FLAIR MR image.
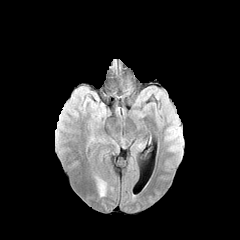
T1-weighted magnetic resonance.
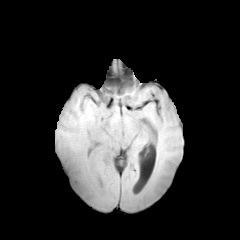
Post-contrast T1-weighted MR image.
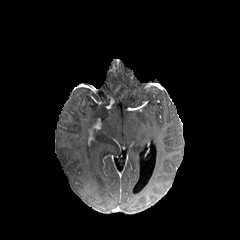
T2-weighted MRI.
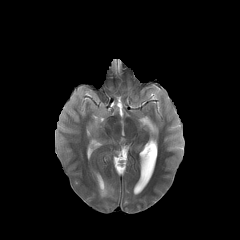
Image size 240x240.
Annotated regions:
* peritumoral edema: (x1=97, y1=177, x2=106, y2=196)